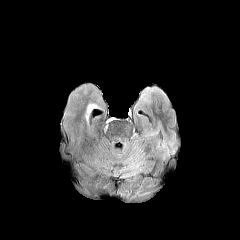
FLAIR MRI.
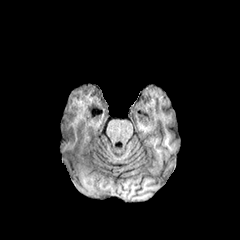
Same slice, T1-weighted MR.
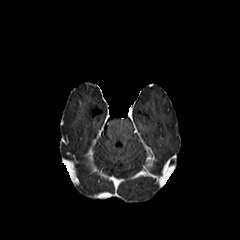
Post-contrast T1-weighted MR.
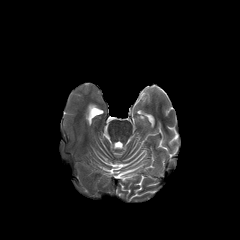
T2-weighted MR.
Axial view.
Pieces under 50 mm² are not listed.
The largest peritumoral edema region is located at 87:105:95:114.